FLAIR MR.
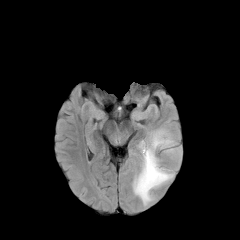
T1-weighted MR.
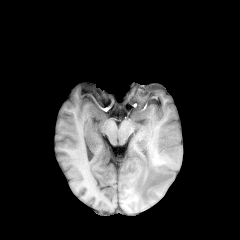
Post-contrast T1-weighted magnetic resonance.
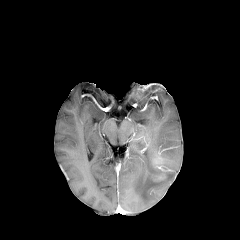
T2-weighted magnetic resonance.
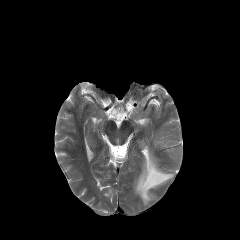
Brain. Image size 240x240. Axial view.
Annotated regions:
- enhancing tumor: rect(154, 174, 165, 180)
- peritumoral edema: rect(133, 131, 182, 206)